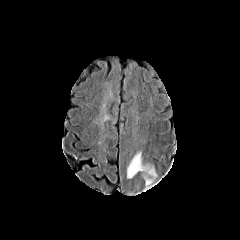
FLAIR magnetic resonance.
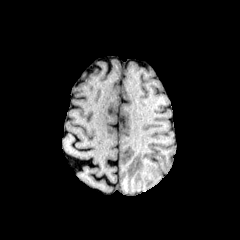
Same slice, T1-weighted magnetic resonance.
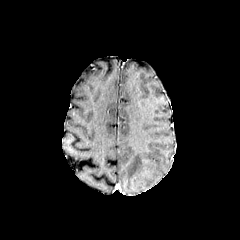
Same slice, post-contrast T1-weighted MR.
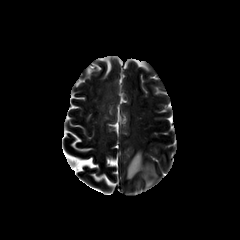
T2-weighted magnetic resonance of the same slice.
Head.
The peritumoral edema is at region(127, 152, 156, 188).